FLAIR MR image.
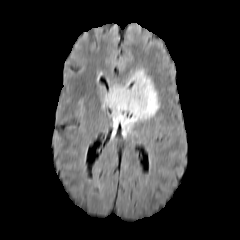
T1-weighted MRI.
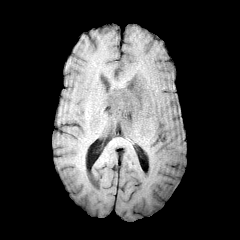
Post-contrast T1-weighted MRI.
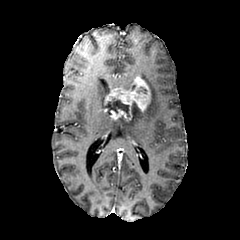
T2-weighted MR.
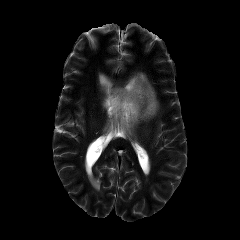
Brain. Axial plane.
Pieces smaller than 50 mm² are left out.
The largest peritumoral edema region appears at rect(111, 70, 159, 135). The enhancing tumor is located at rect(104, 76, 150, 119). The largest necrotic tumor core region is at rect(106, 98, 128, 114).